Head
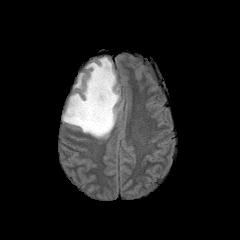
FLAIR MRI.
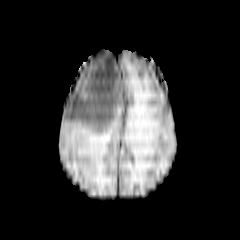
T1-weighted MR image.
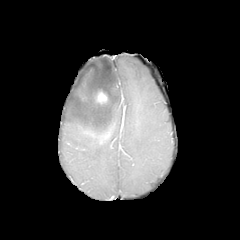
Post-contrast T1-weighted MR image.
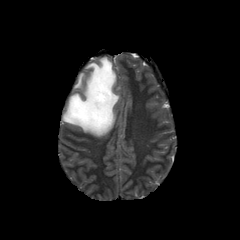
T2-weighted MR.
enhancing tumor: l=95, t=91, r=108, b=105 | peritumoral edema: l=62, t=57, r=121, b=138